FLAIR MRI.
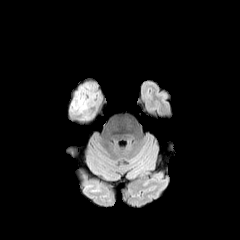
T1-weighted MR.
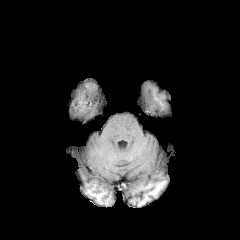
Post-contrast T1-weighted MRI.
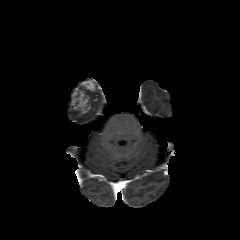
T2-weighted MR image.
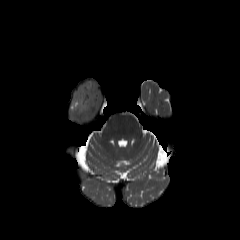
Head | 240x240 px
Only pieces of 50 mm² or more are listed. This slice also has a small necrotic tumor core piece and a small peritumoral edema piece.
Annotated regions:
* enhancing tumor: bbox(72, 81, 94, 112)